Slice 68/155
FLAIR magnetic resonance.
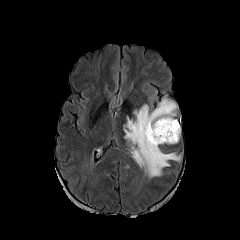
T1-weighted MR image.
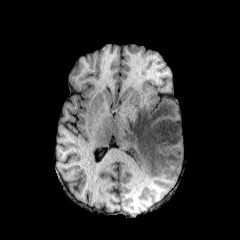
Post-contrast T1-weighted MR image.
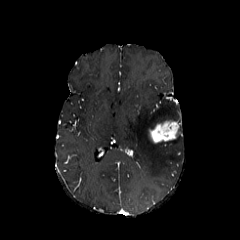
T2-weighted MR image.
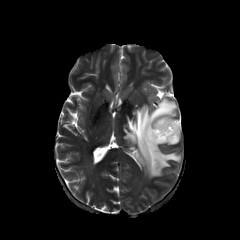
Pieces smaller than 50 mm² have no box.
enhancing tumor at 149 120 179 143
peritumoral edema at 124 99 181 178